240x240 px. Brain. Axial view.
FLAIR MRI.
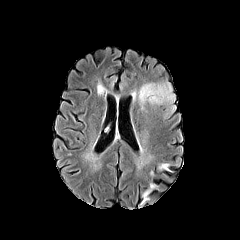
T1-weighted magnetic resonance.
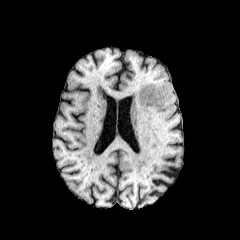
Post-contrast T1-weighted MRI.
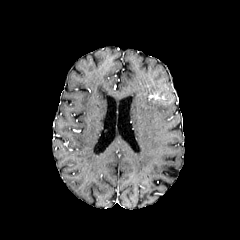
T2-weighted magnetic resonance.
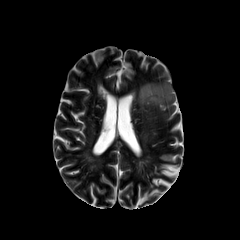
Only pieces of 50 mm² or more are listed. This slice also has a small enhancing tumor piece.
peritumoral_edema:
  - region(138, 83, 174, 109)
  - region(167, 106, 174, 117)